FLAIR MR image.
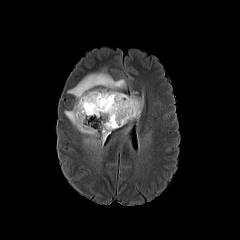
T1-weighted MR.
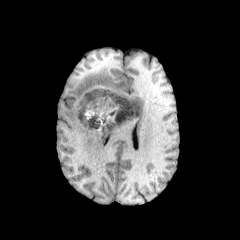
Post-contrast T1-weighted magnetic resonance.
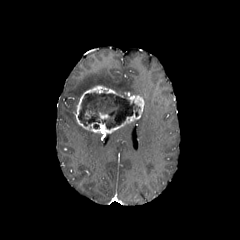
T2-weighted MR image.
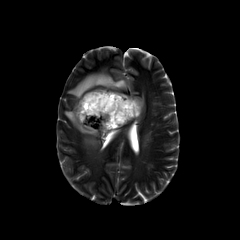
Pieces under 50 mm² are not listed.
enhancing tumor: <box>99,112,109,119</box>, <box>74,85,144,133</box> | peritumoral edema: <box>64,69,126,146</box> | necrotic tumor core: <box>78,93,139,128</box>